Image size 240x240, Head
FLAIR MRI.
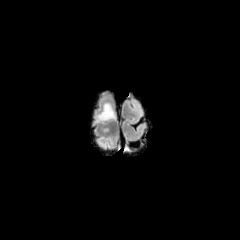
T1-weighted MR image.
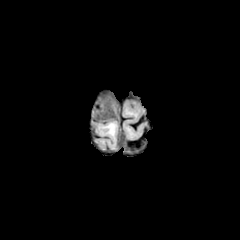
Post-contrast T1-weighted MRI.
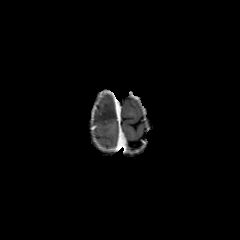
T2-weighted magnetic resonance.
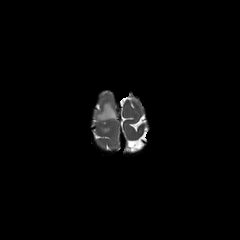
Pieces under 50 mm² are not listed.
{
  "peritumoral_edema": [
    "box(94, 99, 115, 123)"
  ]
}